FLAIR MRI.
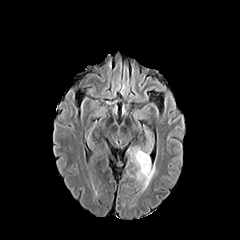
T1-weighted magnetic resonance.
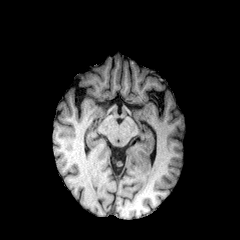
Post-contrast T1-weighted magnetic resonance.
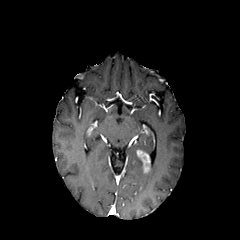
T2-weighted magnetic resonance.
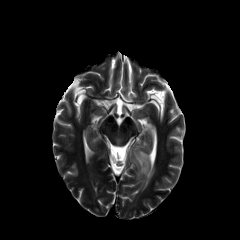
Head.
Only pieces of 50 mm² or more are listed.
The largest peritumoral edema region is located at bbox=[131, 147, 155, 190]. The enhancing tumor lies within bbox=[137, 150, 150, 172].